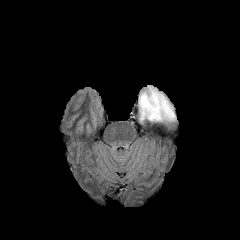
FLAIR magnetic resonance.
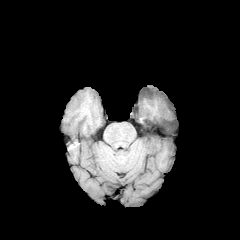
Same slice, T1-weighted MRI.
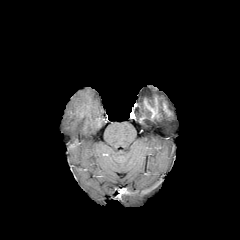
Post-contrast T1-weighted MR.
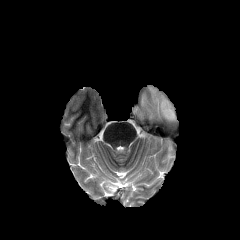
T2-weighted MR image.
Brain
enhancing tumor: bounding box 163, 103, 170, 114; 144, 97, 158, 118
peritumoral edema: bounding box 139, 86, 176, 122